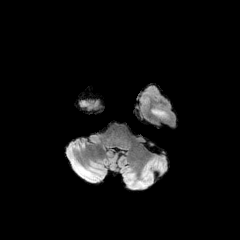
FLAIR MR.
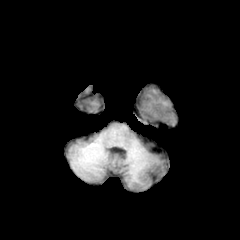
T1-weighted MR image of the same slice.
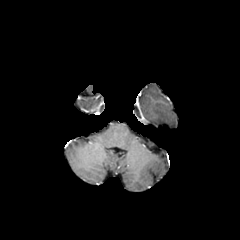
Post-contrast T1-weighted magnetic resonance.
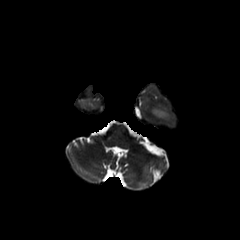
T2-weighted MR image.
Brain
peritumoral edema: left=153, top=109, right=167, bottom=117